FLAIR magnetic resonance.
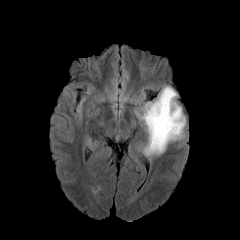
T1-weighted MR image.
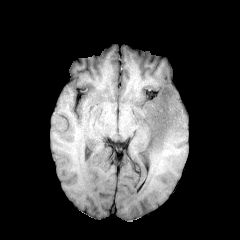
Post-contrast T1-weighted magnetic resonance.
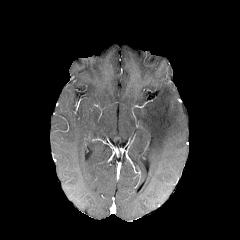
T2-weighted MR.
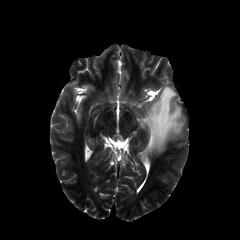
Brain; 240x240 px
peritumoral edema: bbox=[136, 85, 185, 156]